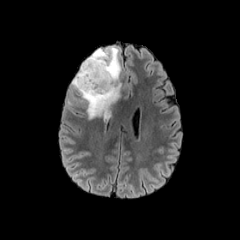
FLAIR magnetic resonance.
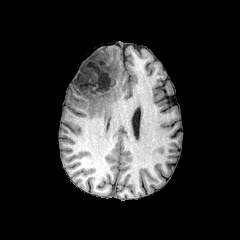
T1-weighted MR image.
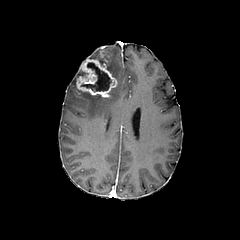
Same slice, post-contrast T1-weighted magnetic resonance.
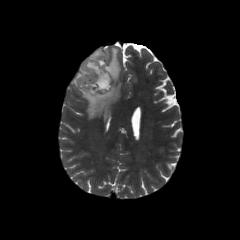
Same slice, T2-weighted MR.
Head, Axial slice
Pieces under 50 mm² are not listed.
Segmented structures:
• peritumoral edema: {"x1": 72, "y1": 46, "x2": 121, "y2": 119}
• necrotic tumor core: {"x1": 81, "y1": 62, "x2": 111, "y2": 91}
• enhancing tumor: {"x1": 75, "y1": 50, "x2": 116, "y2": 97}